FLAIR MR.
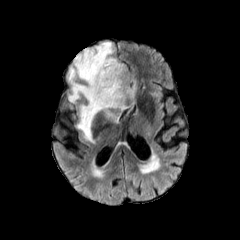
T1-weighted MR image.
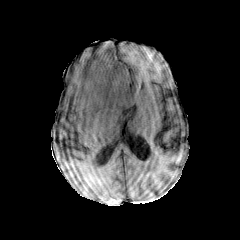
Post-contrast T1-weighted MR.
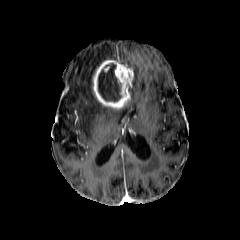
T2-weighted MR.
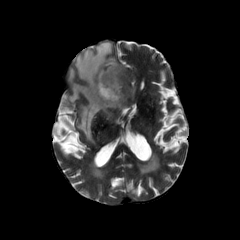
Image size 240x240. Axial plane.
The necrotic tumor core lies within region(98, 64, 120, 101). 2 peritumoral edema regions appear at region(131, 74, 135, 100); region(67, 42, 116, 141). The enhancing tumor is bounded by region(92, 59, 133, 110).